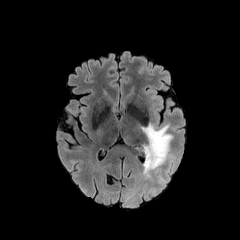
FLAIR MR image.
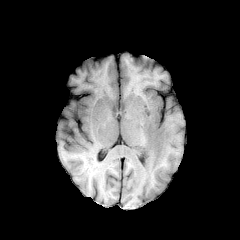
T1-weighted magnetic resonance of the same slice.
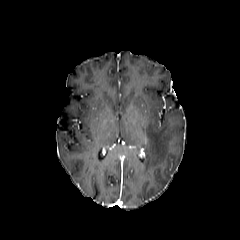
Post-contrast T1-weighted MR image of the same slice.
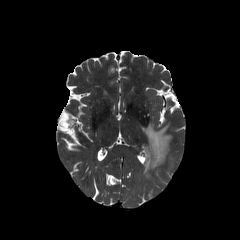
Same slice, T2-weighted magnetic resonance.
Axial slice, Brain
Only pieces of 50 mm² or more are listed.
peritumoral edema at [141, 122, 174, 182]